FLAIR MRI.
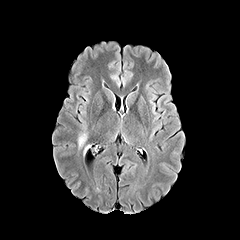
T1-weighted MRI.
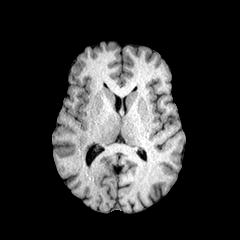
Post-contrast T1-weighted MR image.
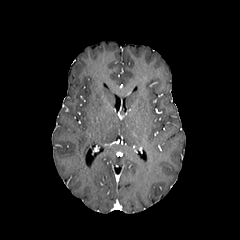
T2-weighted magnetic resonance.
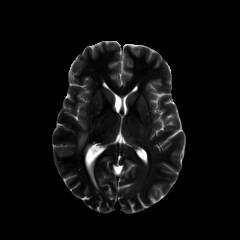
Head | Image size 240x240
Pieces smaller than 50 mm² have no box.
peritumoral_edema:
  - x1=78, y1=134, x2=86, y2=147